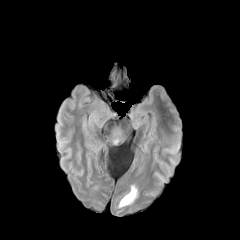
FLAIR magnetic resonance.
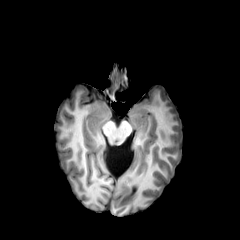
T1-weighted MR image of the same slice.
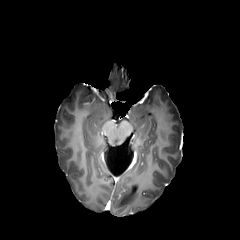
Same slice, post-contrast T1-weighted MRI.
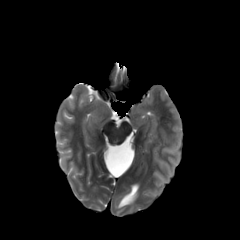
T2-weighted MR.
Brain
The peritumoral edema is at bbox=[118, 185, 137, 207].